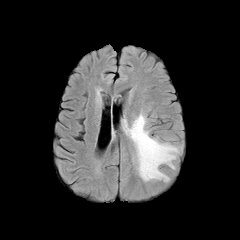
FLAIR MRI.
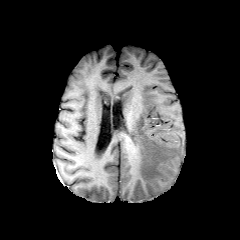
T1-weighted MR of the same slice.
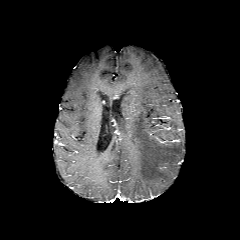
Post-contrast T1-weighted MR of the same slice.
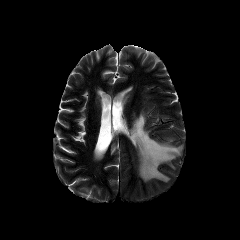
Same slice, T2-weighted MR.
240x240 px
The peritumoral edema lies within 123 112 182 181.